Axial view; Image covers 240 mm x 240 mm
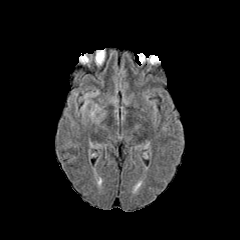
FLAIR MR.
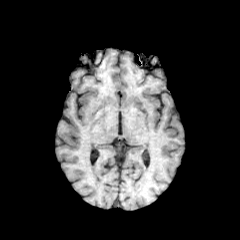
T1-weighted magnetic resonance.
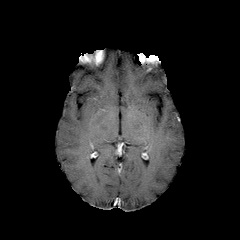
Same slice, post-contrast T1-weighted MR image.
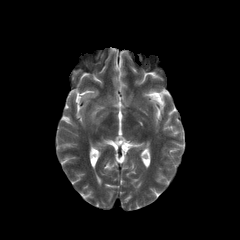
T2-weighted MRI.
peritumoral edema: bounding box <box>80,90,105,124</box>